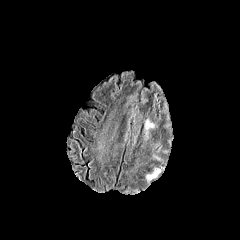
FLAIR magnetic resonance.
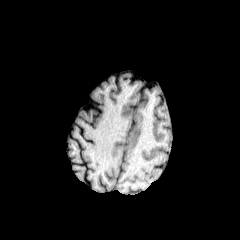
Same slice, T1-weighted MR.
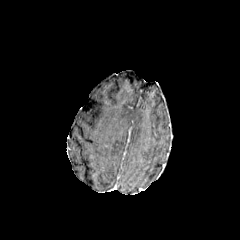
Post-contrast T1-weighted MRI.
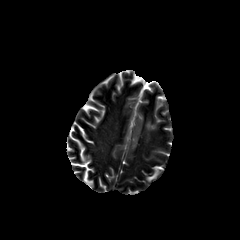
Same slice, T2-weighted MR image.
Axial plane.
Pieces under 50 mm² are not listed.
<segmentation>
  <peritumoral_edema><bbox>147, 170, 159, 180</bbox></peritumoral_edema>
</segmentation>